FLAIR MRI.
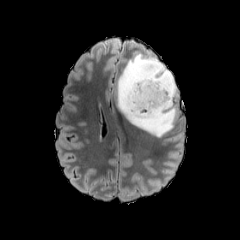
T1-weighted MRI.
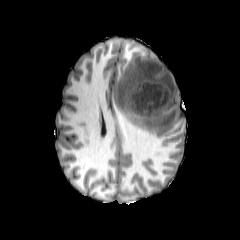
Post-contrast T1-weighted MR image.
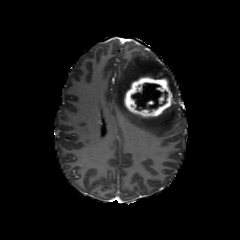
T2-weighted magnetic resonance.
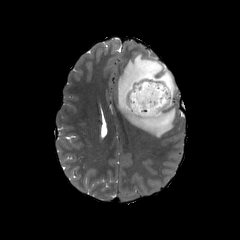
Head | Axial slice
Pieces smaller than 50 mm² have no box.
The necrotic tumor core appears at {"x1": 131, "y1": 83, "x2": 167, "y2": 110}. The largest enhancing tumor region is located at {"x1": 122, "y1": 75, "x2": 172, "y2": 118}. The peritumoral edema appears at {"x1": 115, "y1": 52, "x2": 178, "y2": 136}.